Head. 240x240 px. Image width 240 mm, 1.00 mm slice spacing. Slice 131 of 155.
FLAIR MRI.
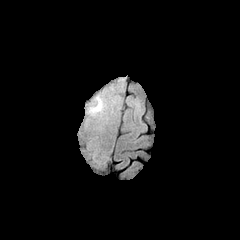
T1-weighted MR image.
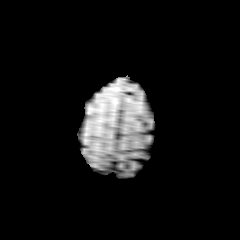
Post-contrast T1-weighted magnetic resonance.
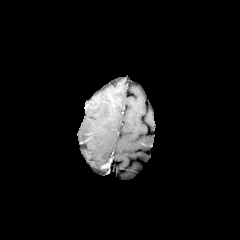
T2-weighted MR image.
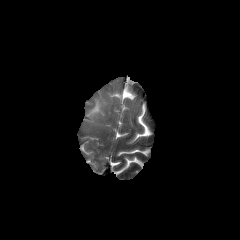
peritumoral_edema:
  - 89 96 105 115